Brain; Slice 125/155; 240x240 px
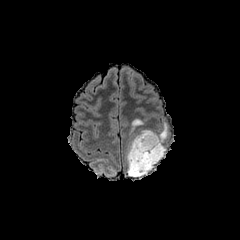
FLAIR MRI.
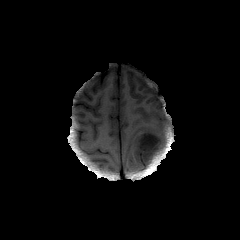
T1-weighted magnetic resonance of the same slice.
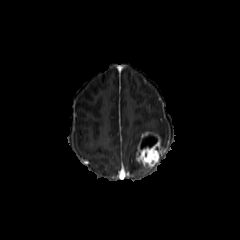
Post-contrast T1-weighted MR.
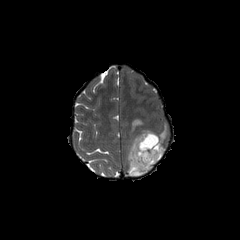
Same slice, T2-weighted MRI.
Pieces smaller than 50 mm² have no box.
peritumoral edema: bounding box (x1=131, y1=119, x2=143, y2=131), (x1=157, y1=122, x2=168, y2=147), (x1=126, y1=129, x2=154, y2=176)
enhancing tumor: bounding box (x1=135, y1=131, x2=166, y2=171)
necrotic tumor core: bounding box (x1=140, y1=135, x2=157, y2=149)